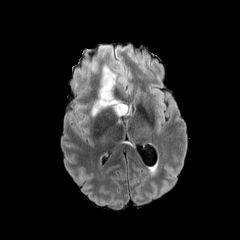
FLAIR MR image.
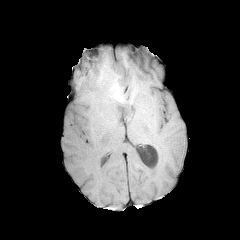
T1-weighted MR.
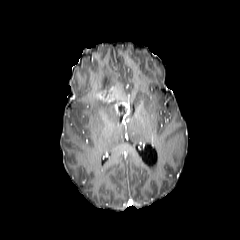
Post-contrast T1-weighted MRI.
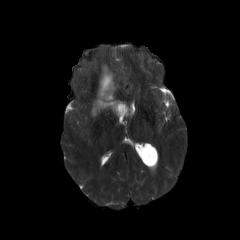
T2-weighted magnetic resonance.
Brain | Axial view
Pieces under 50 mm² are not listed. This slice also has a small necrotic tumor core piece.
The 2 largest peritumoral edema regions appear at <box>91,97,121,115</box>, <box>100,66,115,97</box>. 2 enhancing tumor regions are bounded by <box>98,85,115,101</box>, <box>115,102,130,116</box>.